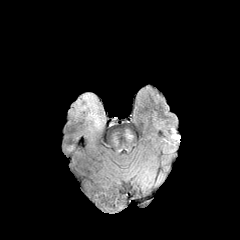
FLAIR MRI.
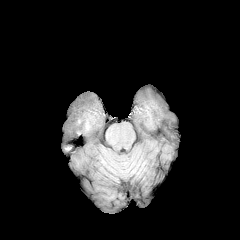
T1-weighted magnetic resonance of the same slice.
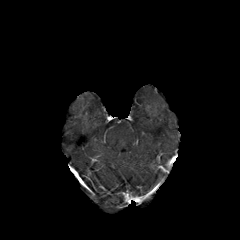
Post-contrast T1-weighted magnetic resonance.
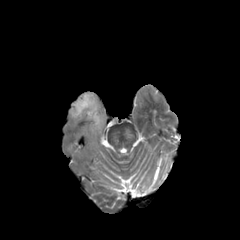
T2-weighted MR image.
Head. Axial plane.
peritumoral edema at [73, 93, 100, 124]